FLAIR MR image.
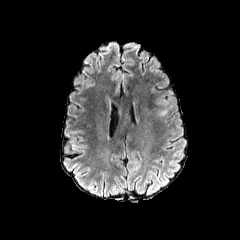
T1-weighted magnetic resonance.
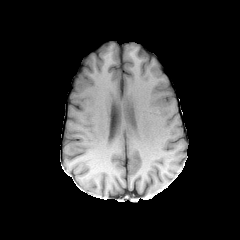
Post-contrast T1-weighted magnetic resonance.
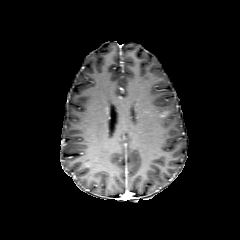
T2-weighted MR image.
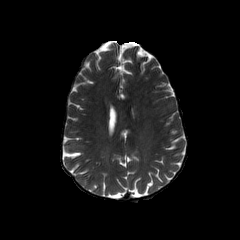
Head
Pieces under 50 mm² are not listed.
Segmented structures:
* enhancing tumor: <bbox>158, 107, 167, 116</bbox>